FLAIR magnetic resonance.
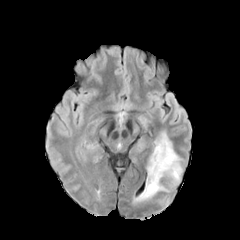
T1-weighted magnetic resonance.
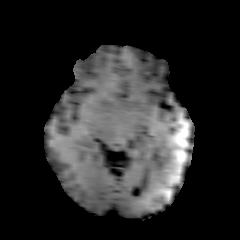
Post-contrast T1-weighted MRI.
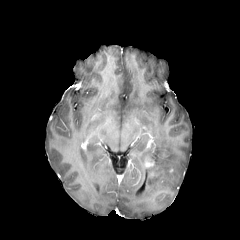
T2-weighted MR image.
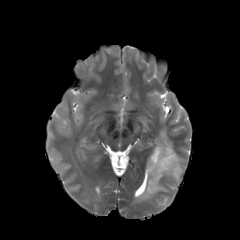
Axial plane, Head
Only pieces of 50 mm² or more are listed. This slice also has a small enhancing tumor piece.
Annotated regions:
• peritumoral edema: 137 130 182 200